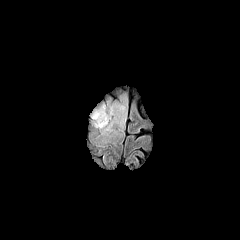
FLAIR MR image.
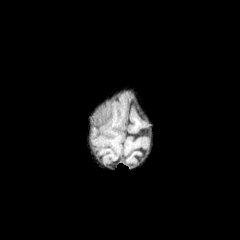
T1-weighted MR image of the same slice.
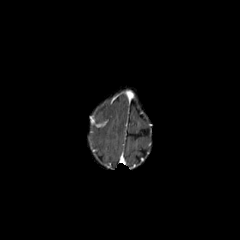
Same slice, post-contrast T1-weighted MR image.
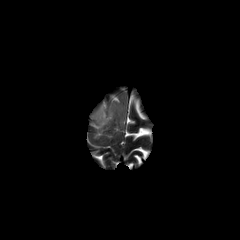
T2-weighted MR.
Head
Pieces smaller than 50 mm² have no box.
necrotic_tumor_core:
  - box=[95, 116, 104, 123]
enhancing_tumor:
  - box=[91, 115, 108, 127]
peritumoral_edema:
  - box=[93, 103, 126, 135]